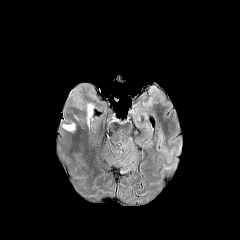
FLAIR MRI.
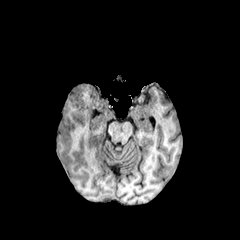
T1-weighted MRI.
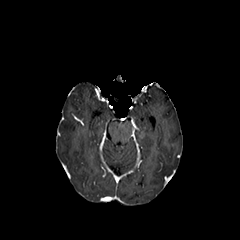
Same slice, post-contrast T1-weighted magnetic resonance.
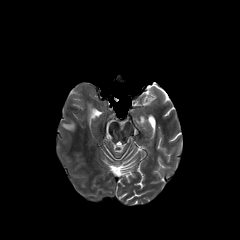
Same slice, T2-weighted MR image.
240x240.
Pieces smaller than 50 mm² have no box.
peritumoral_edema:
  - [x1=73, y1=92, x2=93, y2=120]
  - [x1=63, y1=123, x2=74, y2=130]